Brain, 240x240
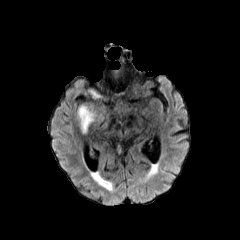
FLAIR magnetic resonance.
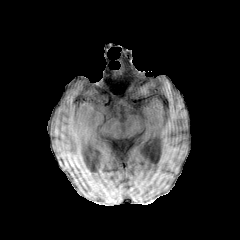
T1-weighted MRI.
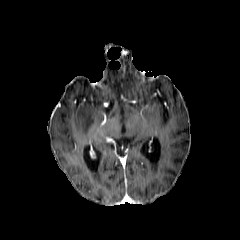
Post-contrast T1-weighted magnetic resonance.
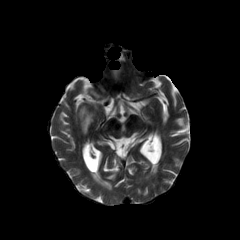
T2-weighted MR image.
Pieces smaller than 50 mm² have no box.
The largest peritumoral edema region lies within (left=78, top=106, right=94, bottom=131).